FLAIR MRI.
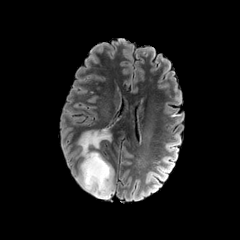
T1-weighted MR.
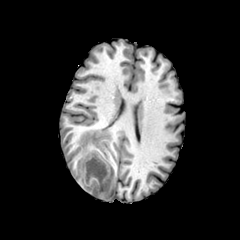
Post-contrast T1-weighted MR image.
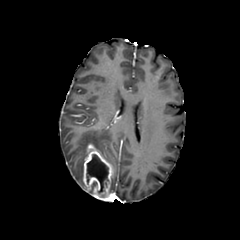
T2-weighted MR.
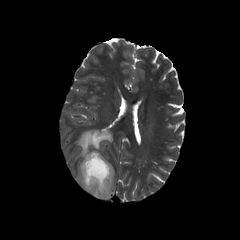
240x240 px | Head
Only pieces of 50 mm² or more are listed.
enhancing tumor at {"x1": 83, "y1": 144, "x2": 114, "y2": 200}
necrotic tumor core at {"x1": 86, "y1": 154, "x2": 108, "y2": 193}
peritumoral edema at {"x1": 75, "y1": 126, "x2": 113, "y2": 190}